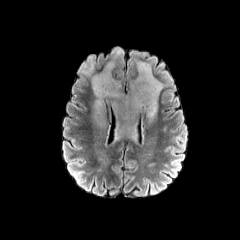
FLAIR MR.
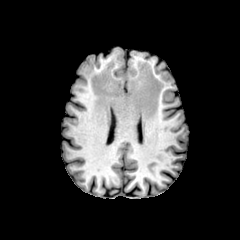
T1-weighted MR.
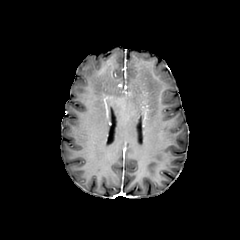
Post-contrast T1-weighted MRI.
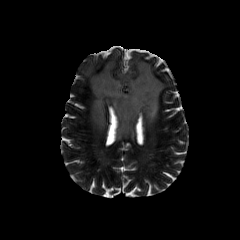
T2-weighted MRI.
Image size 240x240. Axial plane.
<segmentation>
  <peritumoral_edema>(92,61,164,136)</peritumoral_edema>
</segmentation>